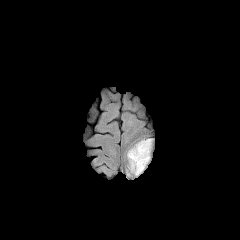
FLAIR MR image.
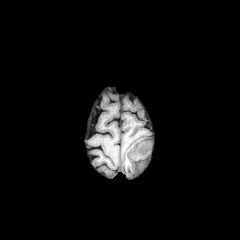
T1-weighted magnetic resonance of the same slice.
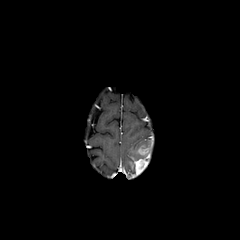
Post-contrast T1-weighted magnetic resonance.
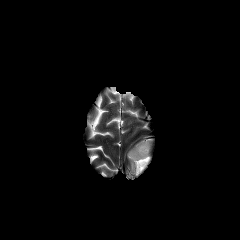
T2-weighted MR image.
Axial view
The peritumoral edema is at l=128, t=140, r=149, b=171. The enhancing tumor is at l=131, t=146, r=149, b=174.